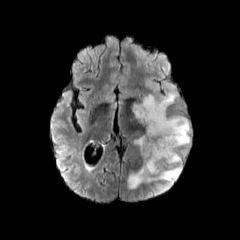
FLAIR MRI.
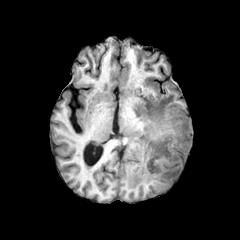
T1-weighted MR.
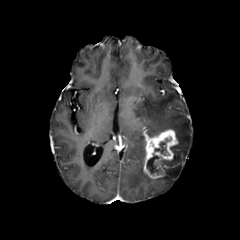
Same slice, post-contrast T1-weighted MRI.
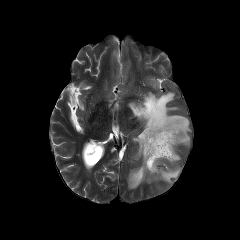
Same slice, T2-weighted magnetic resonance.
Head.
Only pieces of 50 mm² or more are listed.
The largest peritumoral edema region lies within {"x1": 127, "y1": 93, "x2": 191, "y2": 194}. The 2 largest necrotic tumor core regions are located at {"x1": 147, "y1": 153, "x2": 161, "y2": 174}, {"x1": 154, "y1": 142, "x2": 165, "y2": 155}. The enhancing tumor is bounded by {"x1": 143, "y1": 128, "x2": 178, "y2": 179}.